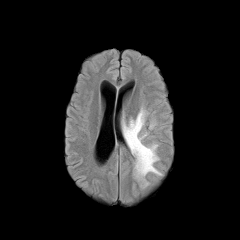
FLAIR MR.
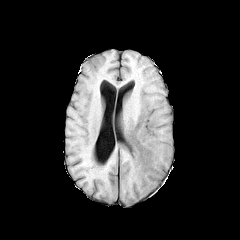
Same slice, T1-weighted MR.
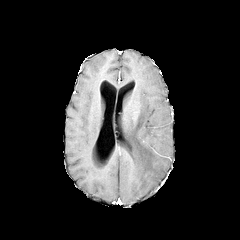
Post-contrast T1-weighted MR.
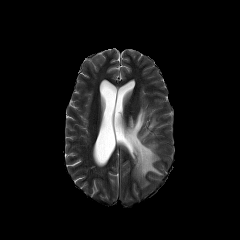
T2-weighted MR image.
Head, Axial view
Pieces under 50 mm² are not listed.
peritumoral edema — rect(123, 108, 161, 186)